FLAIR magnetic resonance.
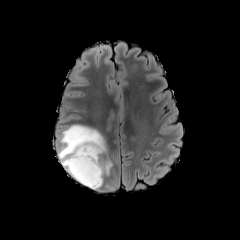
T1-weighted MR image.
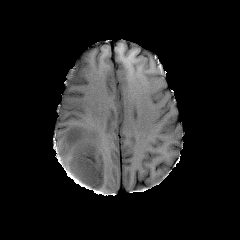
Post-contrast T1-weighted MR image.
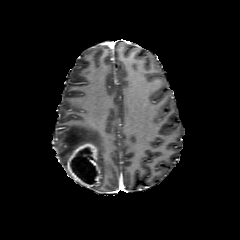
T2-weighted magnetic resonance.
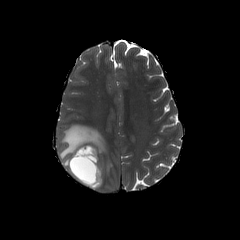
240x240
peritumoral_edema:
  - region(57, 124, 112, 189)
enhancing_tumor:
  - region(63, 142, 101, 189)
necrotic_tumor_core:
  - region(70, 148, 97, 184)